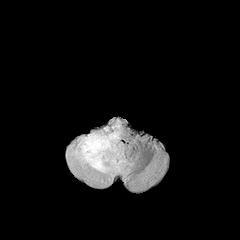
FLAIR magnetic resonance.
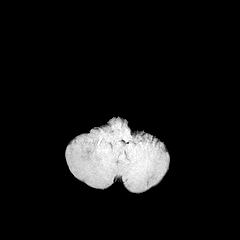
Same slice, T1-weighted magnetic resonance.
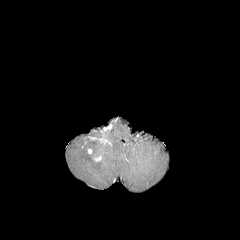
Post-contrast T1-weighted MRI.
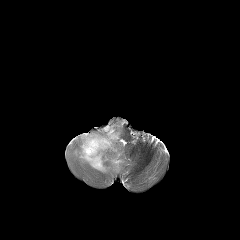
Same slice, T2-weighted MRI.
Axial plane. 240x240 px.
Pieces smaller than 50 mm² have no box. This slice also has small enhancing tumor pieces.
peritumoral edema at 66 119 132 183